Image size 240x240 | Head
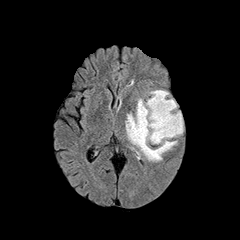
FLAIR magnetic resonance.
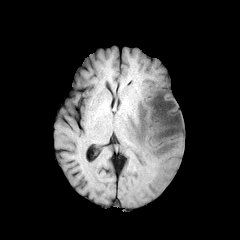
T1-weighted magnetic resonance.
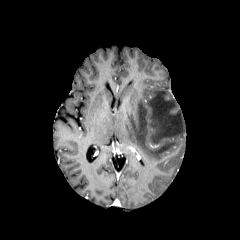
Same slice, post-contrast T1-weighted magnetic resonance.
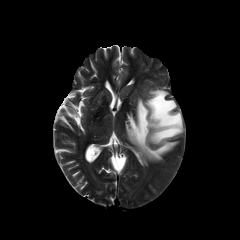
T2-weighted magnetic resonance of the same slice.
Segmented structures:
* peritumoral edema: box=[125, 90, 183, 161]